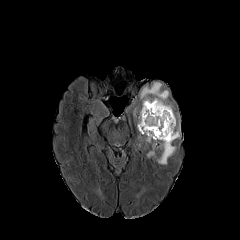
FLAIR magnetic resonance.
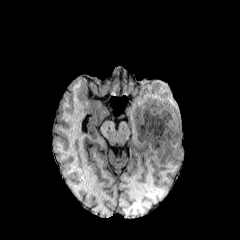
T1-weighted magnetic resonance of the same slice.
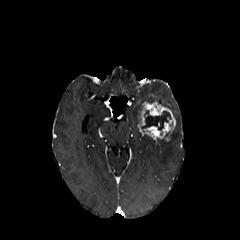
Post-contrast T1-weighted magnetic resonance of the same slice.
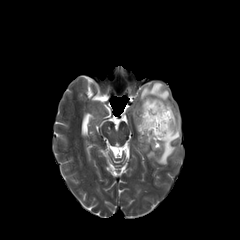
T2-weighted MRI of the same slice.
240x240 | Axial slice | Head
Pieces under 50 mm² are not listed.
enhancing tumor: (137,101,175,141)
necrotic tumor core: (141,110,171,130)
peritumoral edema: (133,82,180,164)